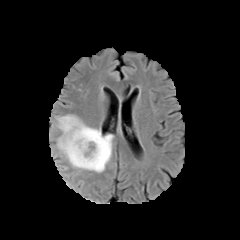
FLAIR MR image.
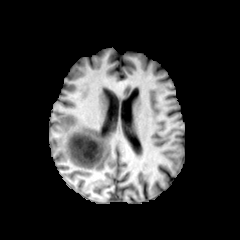
Same slice, T1-weighted MR.
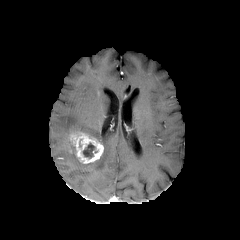
Post-contrast T1-weighted MR of the same slice.
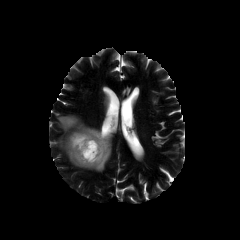
T2-weighted MR image.
Axial slice
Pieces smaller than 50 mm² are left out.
necrotic tumor core: <bbox>83, 143, 95, 158</bbox> | peritumoral edema: <bbox>57, 115, 113, 172</bbox> | enhancing tumor: <bbox>69, 131, 103, 164</bbox>